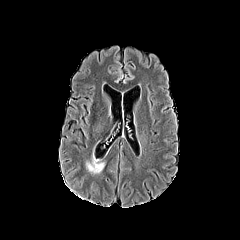
FLAIR MR.
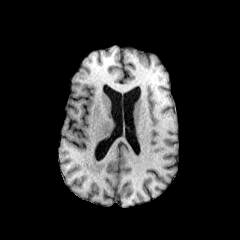
T1-weighted MR image.
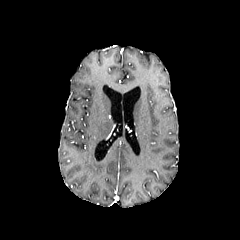
Post-contrast T1-weighted MRI of the same slice.
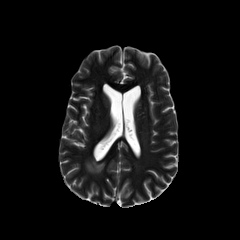
T2-weighted magnetic resonance.
{"peritumoral_edema": ["(left=86, top=155, right=104, bottom=173)"]}